Slice 97/155
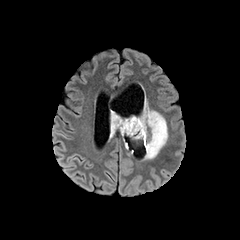
FLAIR MR image.
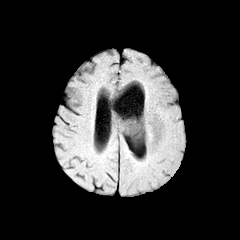
T1-weighted MR of the same slice.
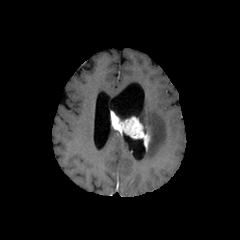
Post-contrast T1-weighted MR image.
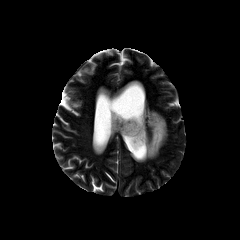
T2-weighted MR image.
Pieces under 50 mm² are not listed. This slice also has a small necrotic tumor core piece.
<segmentation>
  <enhancing_tumor>x1=110 y1=111 x2=149 y2=150</enhancing_tumor>
  <peritumoral_edema>x1=138 y1=98 x2=167 y2=159, x1=109 y1=116 x2=115 y2=138</peritumoral_edema>
</segmentation>